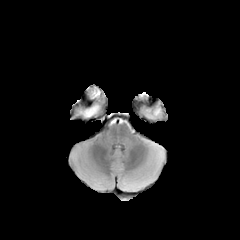
FLAIR MR image.
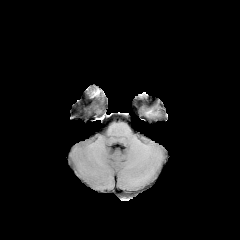
T1-weighted MRI.
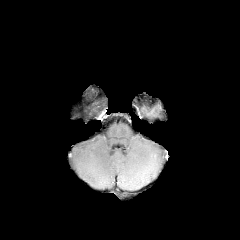
Same slice, post-contrast T1-weighted MR.
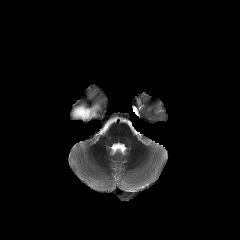
Same slice, T2-weighted MRI.
Axial plane | Brain
The peritumoral edema is at (70,84,105,121).